FLAIR MRI.
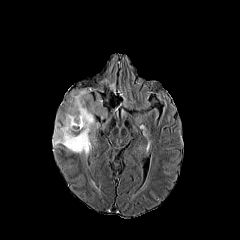
T1-weighted MR image.
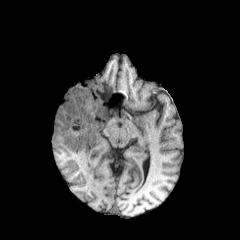
Post-contrast T1-weighted MRI.
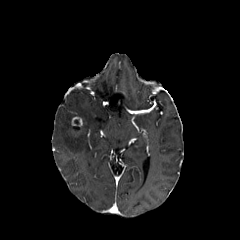
T2-weighted MRI.
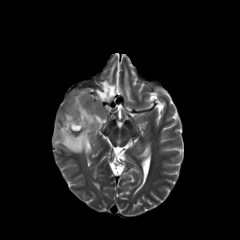
Head
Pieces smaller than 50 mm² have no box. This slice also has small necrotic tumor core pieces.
enhancing tumor: 71,117,82,126 | peritumoral edema: 52,87,112,157; 99,79,116,92